240x240 px | Slice 74 of 155 | Image width 240 mm | Axial plane
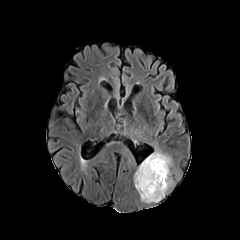
FLAIR MR image.
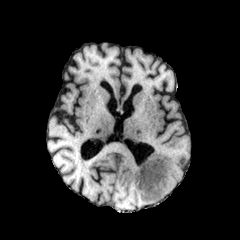
Same slice, T1-weighted MR.
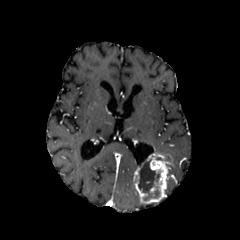
Post-contrast T1-weighted magnetic resonance.
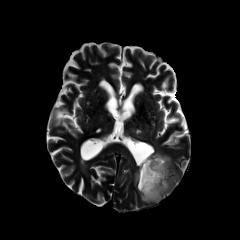
T2-weighted magnetic resonance of the same slice.
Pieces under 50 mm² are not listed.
- enhancing tumor: <box>133,153,173,203</box>
- necrotic tumor core: <box>138,160,155,200</box>
- peritumoral edema: <box>165,179,173,191</box>